Image width 240 mm, Image size 240x240, Slice 73 of 155, Axial plane
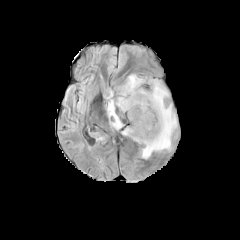
FLAIR magnetic resonance.
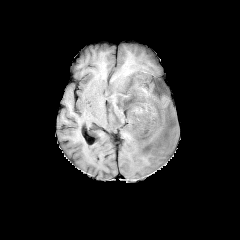
T1-weighted MRI.
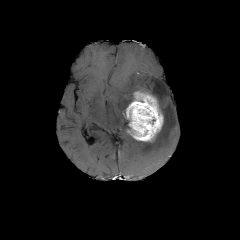
Post-contrast T1-weighted MRI.
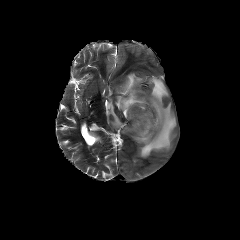
T2-weighted magnetic resonance of the same slice.
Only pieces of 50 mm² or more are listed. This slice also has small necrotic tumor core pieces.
peritumoral edema: 106,74,176,158 | enhancing tumor: 124,91,163,141